Image size 240x240, Axial view, Brain, Slice 65/155, Image width 240 mm, 1.00 mm slice spacing
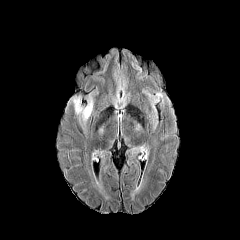
FLAIR MRI.
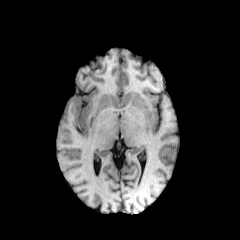
Same slice, T1-weighted magnetic resonance.
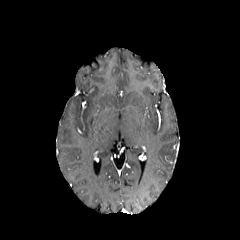
Post-contrast T1-weighted MR.
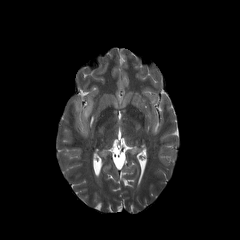
Same slice, T2-weighted magnetic resonance.
The peritumoral edema lies within 69 86 99 137.